Image width 240 mm, 1.00 mm slice spacing | 240x240 | Brain
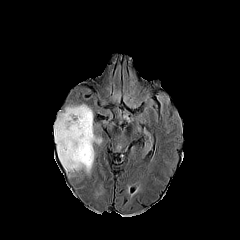
FLAIR MR.
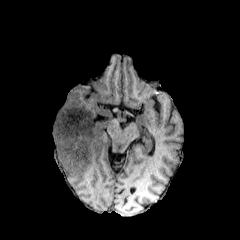
T1-weighted magnetic resonance of the same slice.
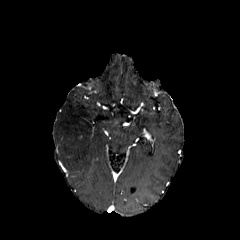
Post-contrast T1-weighted magnetic resonance.
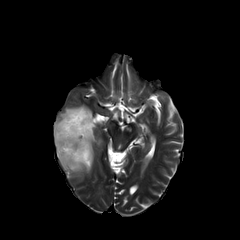
T2-weighted MR image.
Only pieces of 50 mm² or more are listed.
The largest peritumoral edema region appears at x1=54, y1=104, x2=101, y2=173.